Brain | 240x240 px | Slice 101/155
FLAIR MR image.
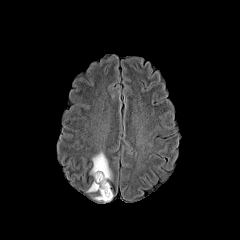
T1-weighted magnetic resonance.
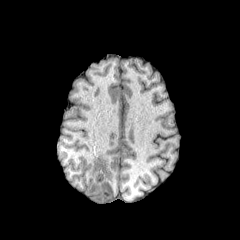
Post-contrast T1-weighted MRI.
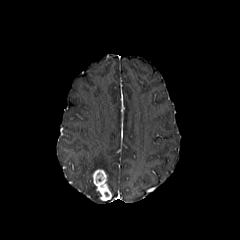
T2-weighted MRI.
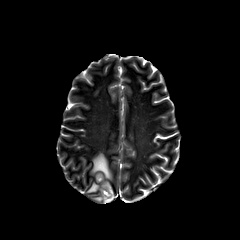
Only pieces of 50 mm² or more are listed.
peritumoral edema at x1=87, y1=183, x2=96, y2=192; x1=90, y1=151, x2=112, y2=193
enhancing tumor at x1=93, y1=169, x2=112, y2=200
necrotic tumor core at x1=96, y1=172, x2=105, y2=184